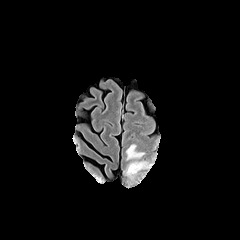
FLAIR magnetic resonance.
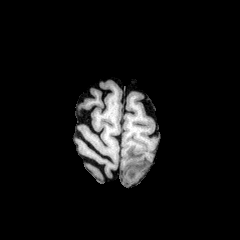
T1-weighted MRI.
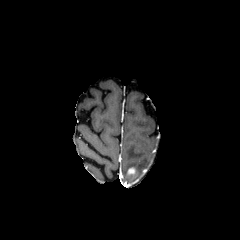
Post-contrast T1-weighted MRI of the same slice.
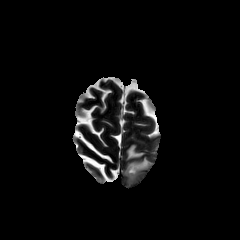
Same slice, T2-weighted MR image.
Axial plane, 240x240
peritumoral edema at <box>124,144,148,173</box>
enhancing tumor at <box>126,167,136,179</box>